FLAIR magnetic resonance.
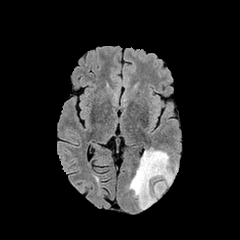
T1-weighted MR image.
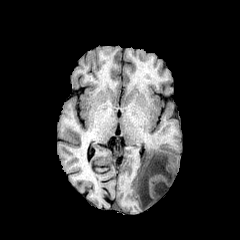
Post-contrast T1-weighted magnetic resonance.
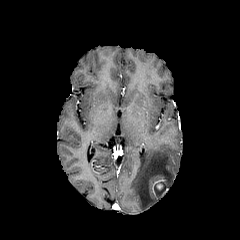
T2-weighted MRI.
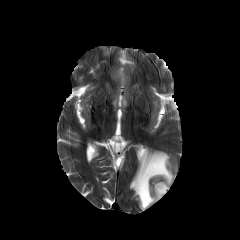
240x240, Brain
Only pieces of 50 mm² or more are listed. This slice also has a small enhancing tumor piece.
necrotic tumor core: rect(154, 181, 166, 198) | peritumoral edema: rect(129, 148, 173, 209)